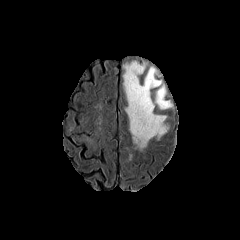
FLAIR MR image.
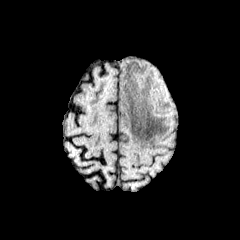
T1-weighted MRI of the same slice.
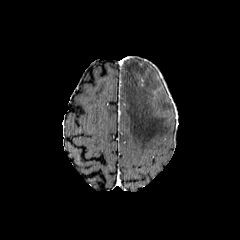
Post-contrast T1-weighted MR image.
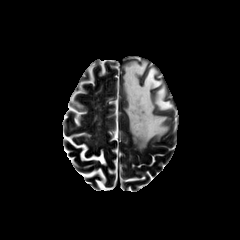
T2-weighted MRI.
Axial plane, Brain
- peritumoral edema: [123, 61, 172, 149]